Axial slice, Image width 240 mm, Head, 240x240, Slice 84 of 155
FLAIR MRI.
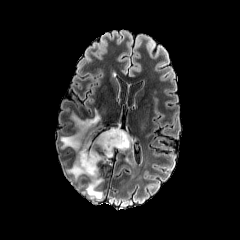
T1-weighted MR.
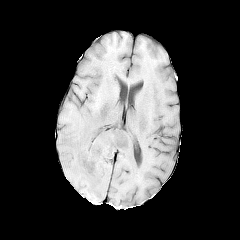
Post-contrast T1-weighted MRI.
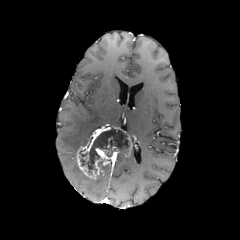
T2-weighted MR image.
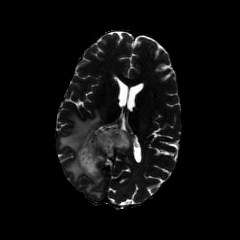
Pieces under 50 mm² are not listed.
The largest necrotic tumor core region lies within box=[87, 129, 129, 173]. The enhancing tumor is bounded by box=[76, 127, 133, 179]. 3 peritumoral edema regions are bounded by box=[87, 179, 101, 197]; box=[60, 110, 100, 152]; box=[68, 160, 82, 178].